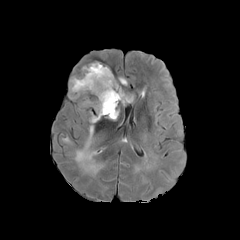
FLAIR MR.
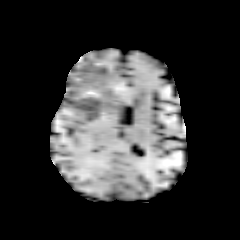
T1-weighted MR image.
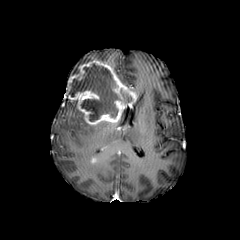
Post-contrast T1-weighted MR image.
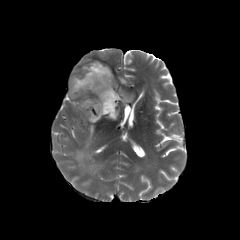
T2-weighted magnetic resonance.
Head | 240x240 px
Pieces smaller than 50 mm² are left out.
peritumoral edema: bounding box box(74, 125, 102, 172)
enhancing tumor: bounding box box(67, 60, 136, 125)
necrotic tumor core: bounding box box(68, 64, 120, 121); box(120, 89, 131, 103)